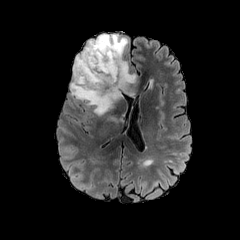
FLAIR MR image.
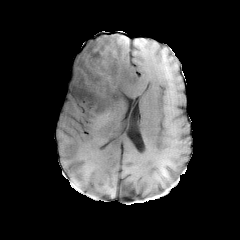
T1-weighted magnetic resonance.
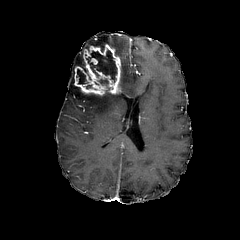
Post-contrast T1-weighted MR of the same slice.
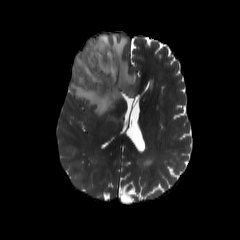
T2-weighted MRI of the same slice.
Head
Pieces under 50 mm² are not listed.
necrotic tumor core: bounding box (left=86, top=50, right=116, bottom=81), (left=76, top=70, right=85, bottom=84)
enhancing tumor: bounding box (left=73, top=43, right=121, bottom=95)
peritumoral edema: bounding box (left=70, top=34, right=135, bottom=115)